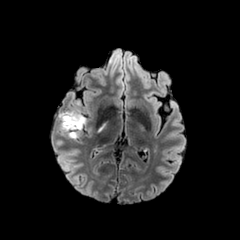
FLAIR MR image.
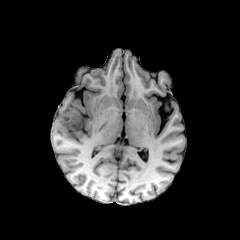
Same slice, T1-weighted MRI.
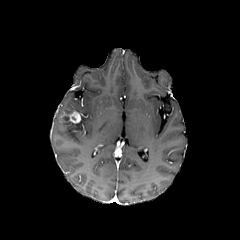
Post-contrast T1-weighted MRI.
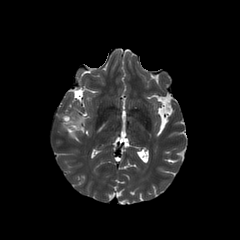
T2-weighted MR of the same slice.
Axial view. Head.
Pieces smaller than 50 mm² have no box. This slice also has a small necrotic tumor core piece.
Annotated regions:
• enhancing tumor: 61,111,81,123
• peritumoral edema: 59,114,86,129